FLAIR MRI.
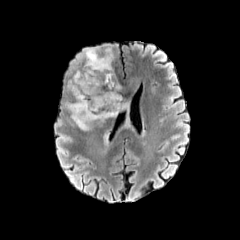
T1-weighted magnetic resonance.
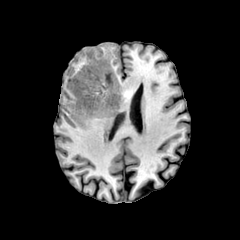
Post-contrast T1-weighted MR.
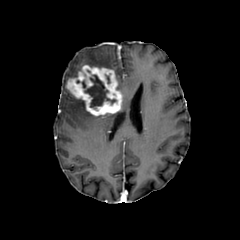
T2-weighted MR.
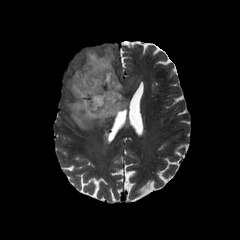
Axial plane; Brain
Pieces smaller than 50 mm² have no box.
peritumoral edema: bbox=[77, 48, 113, 69]; bbox=[121, 99, 128, 111]; bbox=[66, 99, 118, 130]
necrotic tumor core: bbox=[84, 75, 115, 108]
enhancing tumor: bbox=[66, 65, 122, 115]